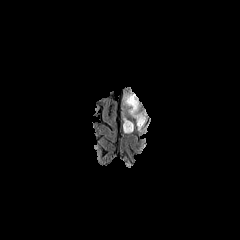
FLAIR magnetic resonance.
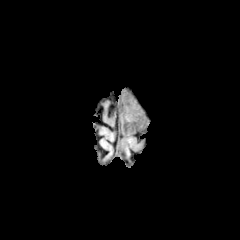
Same slice, T1-weighted MR image.
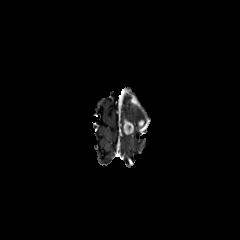
Post-contrast T1-weighted MR of the same slice.
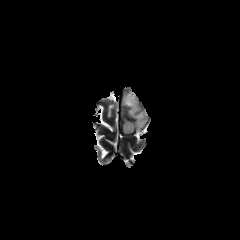
T2-weighted magnetic resonance.
Brain
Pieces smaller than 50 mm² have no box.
enhancing tumor: x1=130, y1=95, x2=139, y2=106; x1=138, y1=120, x2=144, y2=129; x1=123, y1=119, x2=133, y2=134 | peritumoral edema: x1=123, y1=95, x2=145, y2=126